FLAIR MRI.
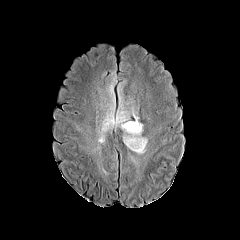
T1-weighted MRI.
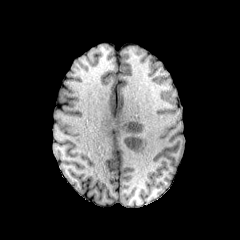
Post-contrast T1-weighted magnetic resonance.
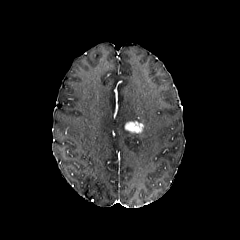
T2-weighted MR image.
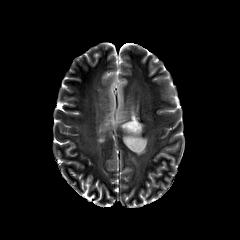
Axial view, Head
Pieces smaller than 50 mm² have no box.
The enhancing tumor lies within 124:121:143:134. The 2 largest peritumoral edema regions are bounded by 106:77:115:104, 98:110:147:154.